Slice 85/155 | Axial view
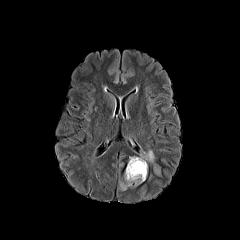
FLAIR MRI.
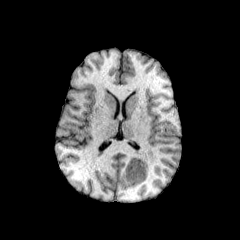
T1-weighted magnetic resonance.
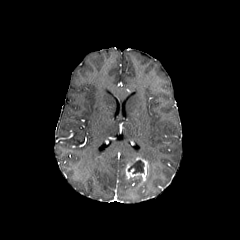
Post-contrast T1-weighted MR image.
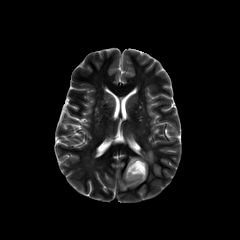
Same slice, T2-weighted magnetic resonance.
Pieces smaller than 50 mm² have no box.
peritumoral edema = <bbox>120, 175, 141, 190</bbox>, <bbox>139, 150, 154, 163</bbox>
necrotic tumor core = <bbox>128, 160, 144, 173</bbox>
enhancing tumor = <bbox>125, 157, 148, 182</bbox>